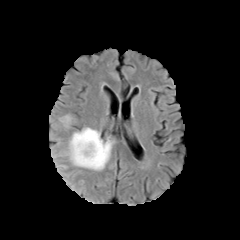
FLAIR magnetic resonance.
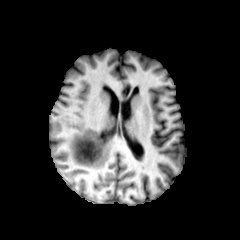
T1-weighted magnetic resonance.
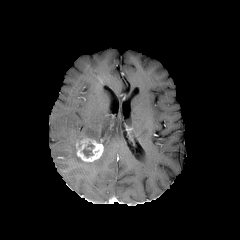
Same slice, post-contrast T1-weighted MR image.
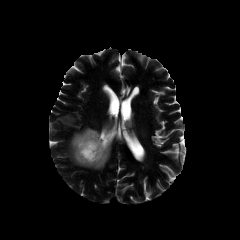
T2-weighted MR image.
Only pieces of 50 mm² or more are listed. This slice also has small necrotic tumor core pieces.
peritumoral_edema:
  - [68,127,112,169]
  - [60,115,71,125]
enhancing_tumor:
  - [75,136,103,162]